FLAIR MRI.
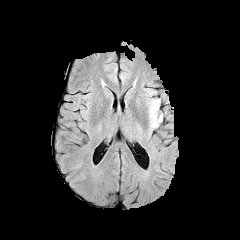
T1-weighted MR.
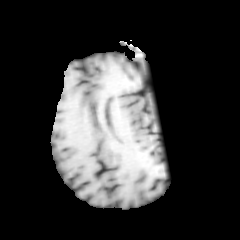
Post-contrast T1-weighted MR.
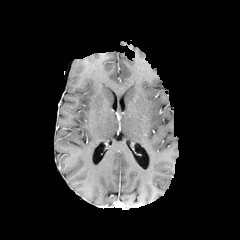
T2-weighted magnetic resonance.
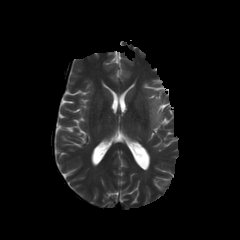
Head. 240x240 px. Axial slice.
Segmented structures:
* peritumoral edema: box=[150, 100, 160, 126]